FLAIR MR.
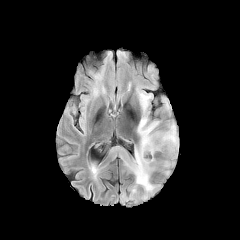
T1-weighted MR.
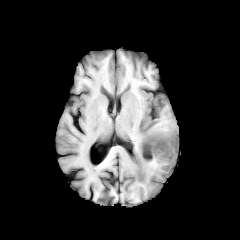
Post-contrast T1-weighted magnetic resonance.
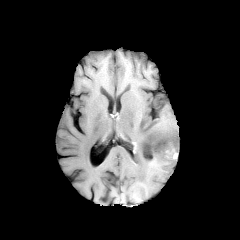
T2-weighted MRI.
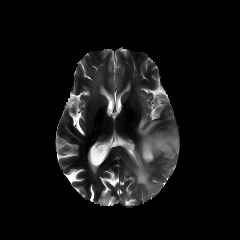
Brain
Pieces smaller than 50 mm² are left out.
enhancing tumor: (x1=142, y1=140, x2=177, y2=159) | peritumoral edema: (x1=125, y1=102, x2=178, y2=191), (x1=164, y1=160, x2=173, y2=167) | necrotic tumor core: (x1=144, y1=145, x2=151, y2=157), (x1=154, y1=141, x2=173, y2=150)